Axial plane.
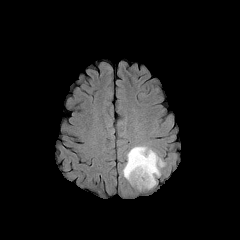
FLAIR MR.
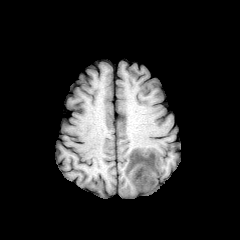
T1-weighted MR image.
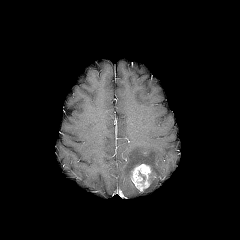
Same slice, post-contrast T1-weighted MR image.
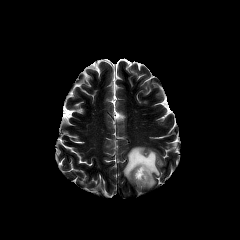
T2-weighted MR image.
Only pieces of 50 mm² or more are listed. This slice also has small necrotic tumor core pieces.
peritumoral edema: region(123, 146, 164, 184); region(147, 174, 156, 188) | enhancing tumor: region(130, 164, 151, 190)